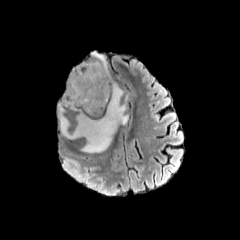
FLAIR magnetic resonance.
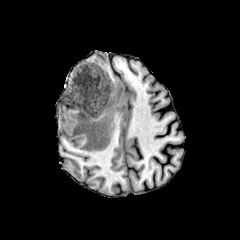
T1-weighted MR.
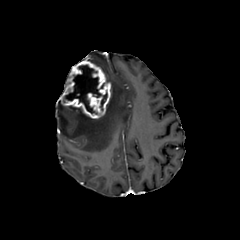
Post-contrast T1-weighted MR.
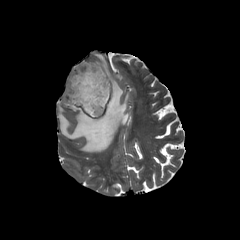
Same slice, T2-weighted MR image.
Head
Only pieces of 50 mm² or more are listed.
* peritumoral edema: x1=58, y1=81, x2=128, y2=152; x1=93, y1=53, x2=110, y2=81
* enhancing tumor: x1=60, y1=60, x2=111, y2=118
* necrotic tumor core: x1=64, y1=65, x2=101, y2=113; x1=100, y1=93, x2=107, y2=110